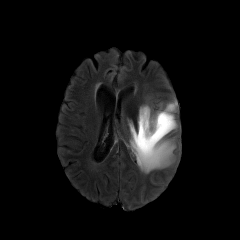
FLAIR MRI.
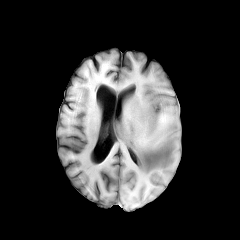
T1-weighted MR.
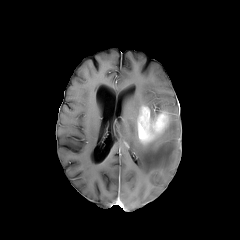
Same slice, post-contrast T1-weighted MRI.
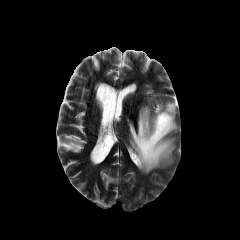
T2-weighted MRI.
240x240 px. Axial plane.
The peritumoral edema is at bbox(129, 99, 177, 173). The enhancing tumor is at bbox(138, 106, 168, 142).